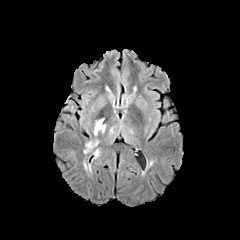
FLAIR MR.
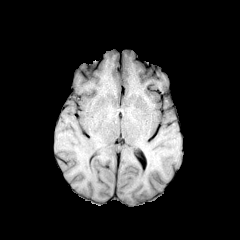
T1-weighted MR.
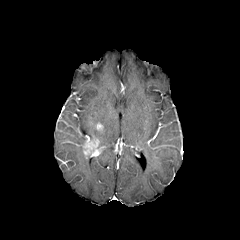
Post-contrast T1-weighted MR of the same slice.
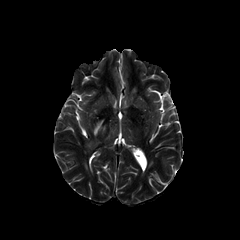
T2-weighted MR image of the same slice.
240x240 px | Axial view | Brain
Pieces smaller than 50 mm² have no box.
enhancing_tumor:
  - x1=84, y1=140, x2=98, y2=153
peritumoral_edema:
  - x1=93, y1=119, x2=105, y2=136